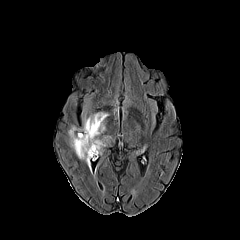
FLAIR MR.
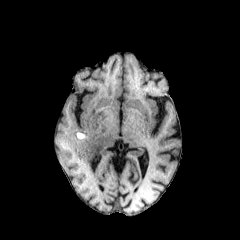
T1-weighted MRI of the same slice.
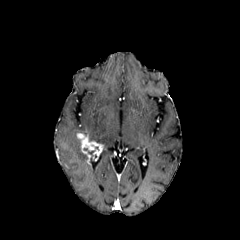
Post-contrast T1-weighted MR.
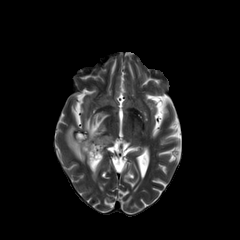
Same slice, T2-weighted MR image.
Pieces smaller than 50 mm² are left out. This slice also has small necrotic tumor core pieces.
peritumoral edema: bounding box box(68, 126, 87, 161); box(80, 112, 110, 145)
enhancing tumor: bounding box box(79, 134, 104, 164)